Axial plane. 240x240 px.
FLAIR MR.
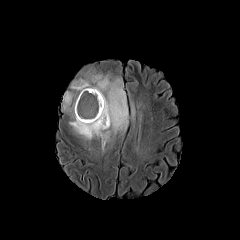
T1-weighted MR image.
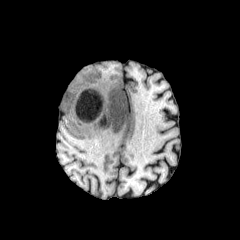
Post-contrast T1-weighted MR.
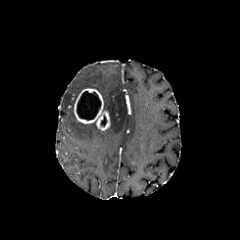
T2-weighted MRI.
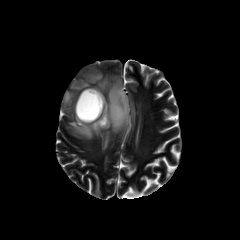
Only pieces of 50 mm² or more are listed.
enhancing tumor at x1=74, y1=88, x2=110, y2=130
peritumoral edema at x1=63, y1=65, x2=129, y2=148
necrotic tumor core at x1=76, y1=91, x2=101, y2=120